FLAIR MRI.
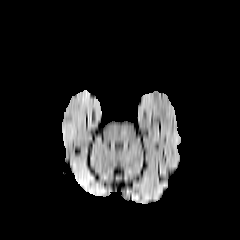
T1-weighted MRI.
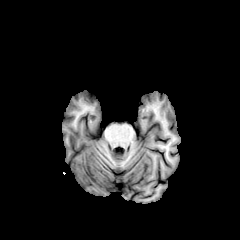
Post-contrast T1-weighted MR image.
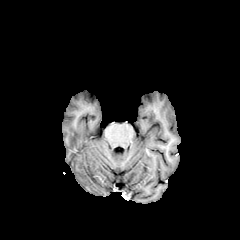
T2-weighted MR image.
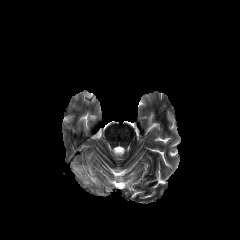
Image size 240x240; Head; Axial plane
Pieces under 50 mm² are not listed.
The largest peritumoral edema region lies within (x1=77, y1=167, x2=92, y2=191).